FLAIR MR image.
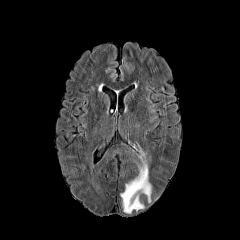
T1-weighted magnetic resonance.
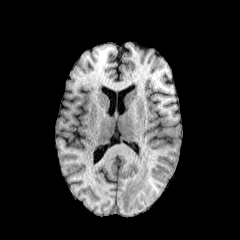
Post-contrast T1-weighted MRI.
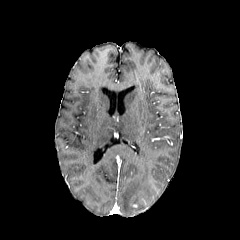
T2-weighted MR image.
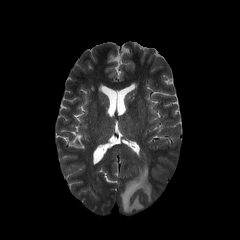
Head; Axial slice; 240x240
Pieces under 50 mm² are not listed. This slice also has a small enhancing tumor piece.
peritumoral edema: 120,149,151,213